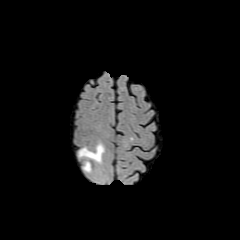
FLAIR MRI.
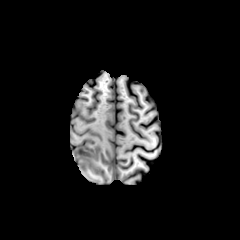
T1-weighted MR image.
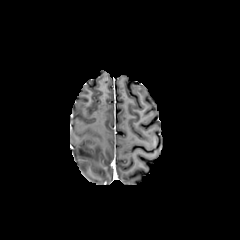
Post-contrast T1-weighted MR of the same slice.
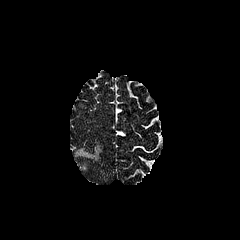
T2-weighted MR image of the same slice.
Image size 240x240, Axial plane, Head
* peritumoral edema: [x1=78, y1=144, x2=103, y2=162], [x1=84, y1=162, x2=90, y2=170]